Head; Axial view; Image size 240x240
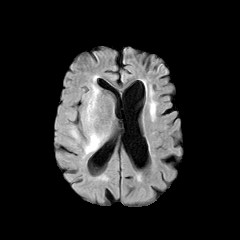
FLAIR magnetic resonance.
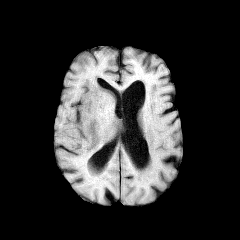
T1-weighted MR of the same slice.
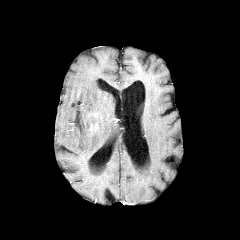
Same slice, post-contrast T1-weighted MR image.
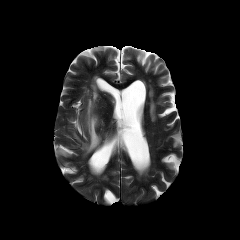
T2-weighted MR.
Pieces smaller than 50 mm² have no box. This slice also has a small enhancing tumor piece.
peritumoral edema: bbox(69, 125, 80, 141); bbox(82, 83, 106, 156)